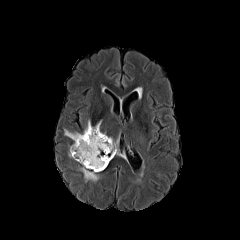
FLAIR magnetic resonance.
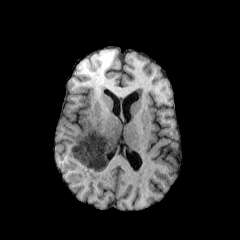
T1-weighted magnetic resonance of the same slice.
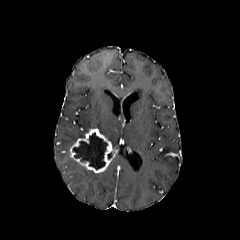
Post-contrast T1-weighted MR image.
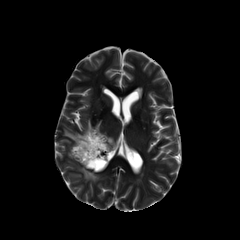
T2-weighted magnetic resonance.
Axial slice, Brain
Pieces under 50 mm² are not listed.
enhancing tumor: [70, 128, 117, 172]
peritumoral edema: [64, 120, 101, 141], [78, 164, 100, 181], [101, 133, 116, 148]
necrotic tumor core: [73, 133, 107, 169]